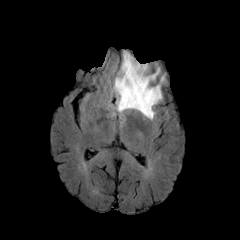
FLAIR magnetic resonance.
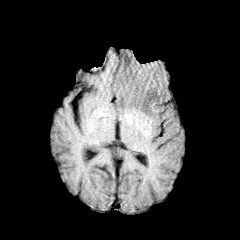
T1-weighted MR of the same slice.
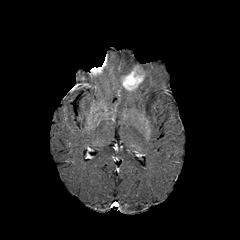
Same slice, post-contrast T1-weighted magnetic resonance.
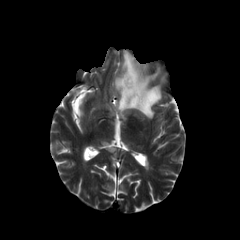
T2-weighted MR of the same slice.
Axial view; Brain
The enhancing tumor appears at (121, 66, 144, 91). The peritumoral edema appears at (113, 51, 164, 119).